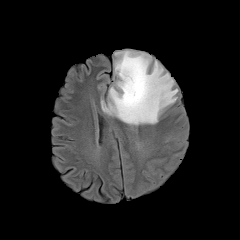
FLAIR MR.
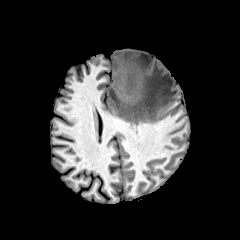
Same slice, T1-weighted MRI.
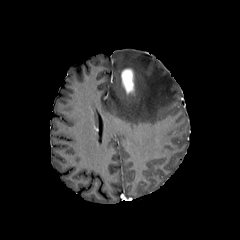
Same slice, post-contrast T1-weighted MRI.
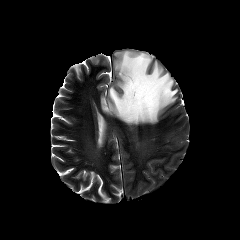
Same slice, T2-weighted magnetic resonance.
Image size 240x240 | Axial plane
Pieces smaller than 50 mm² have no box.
The largest peritumoral edema region is at bbox(101, 50, 178, 125). The enhancing tumor is located at bbox(121, 68, 135, 96).